Slice 49/155; Axial plane; Head
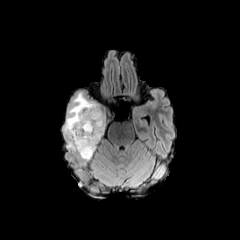
FLAIR MR image.
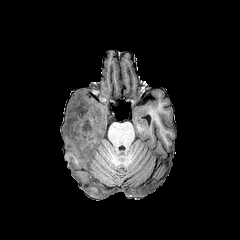
T1-weighted magnetic resonance.
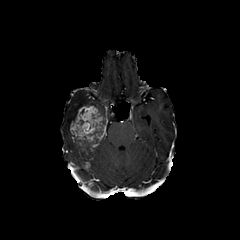
Post-contrast T1-weighted MR.
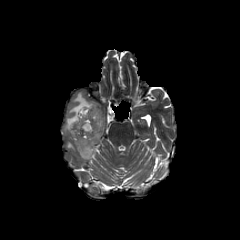
Same slice, T2-weighted MR.
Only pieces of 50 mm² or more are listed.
The 2 largest necrotic tumor core regions are located at 75 137 84 154, 96 119 105 126. 2 peritumoral edema regions appear at 63 92 105 156, 77 147 96 161. The enhancing tumor lies within 69 105 106 157.